FLAIR MR.
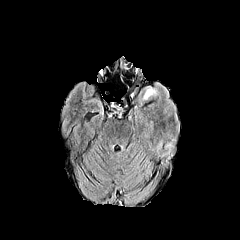
T1-weighted magnetic resonance.
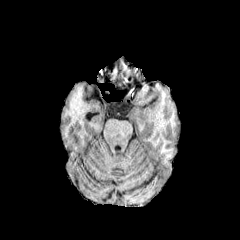
Post-contrast T1-weighted MRI.
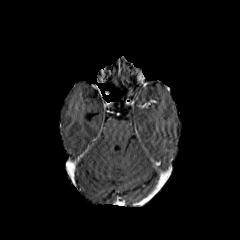
T2-weighted magnetic resonance.
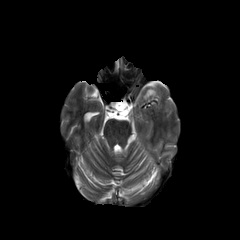
Brain.
peritumoral edema: bbox=[143, 85, 157, 100]